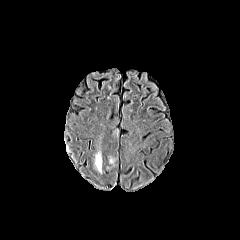
FLAIR magnetic resonance.
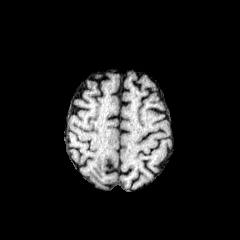
T1-weighted MRI.
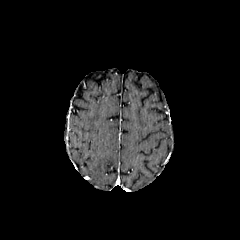
Post-contrast T1-weighted magnetic resonance.
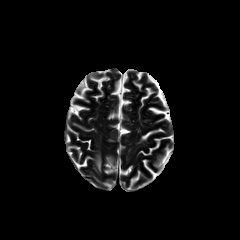
Same slice, T2-weighted MR.
Brain; Image size 240x240
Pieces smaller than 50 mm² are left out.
The largest peritumoral edema region appears at x1=95, y1=152, x2=101, y2=172.